Brain; Slice 84/155; Image width 240 mm, 1.00 mm slice spacing; 240x240 px
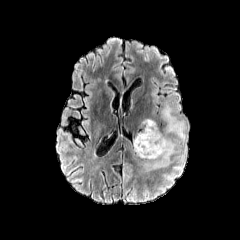
FLAIR magnetic resonance.
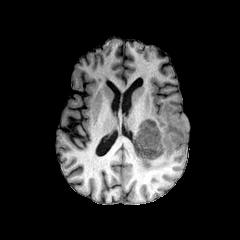
T1-weighted MRI.
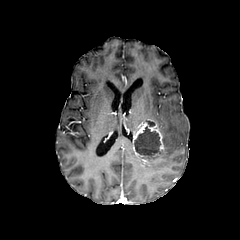
Post-contrast T1-weighted MR.
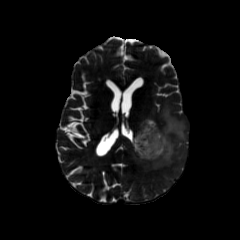
Same slice, T2-weighted MR image.
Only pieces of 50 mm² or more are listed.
enhancing tumor: l=133, t=118, r=164, b=163 | peritumoral edema: l=141, t=103, r=187, b=170 | necrotic tumor core: l=134, t=126, r=160, b=156